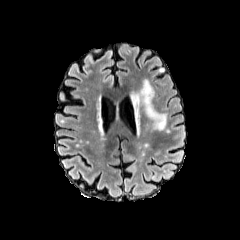
FLAIR magnetic resonance.
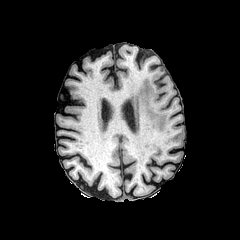
T1-weighted MRI.
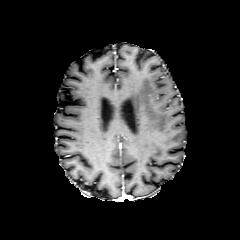
Post-contrast T1-weighted MRI.
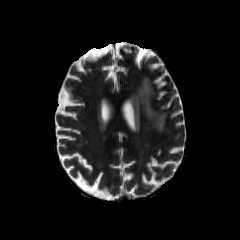
T2-weighted MR image of the same slice.
Brain, Axial slice
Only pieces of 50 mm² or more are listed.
The largest peritumoral edema region appears at region(131, 79, 166, 134).